Image size 240x240; Axial slice
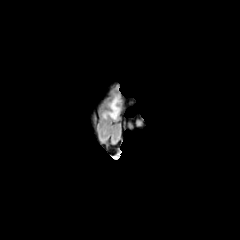
FLAIR MR image.
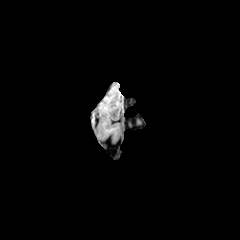
Same slice, T1-weighted MRI.
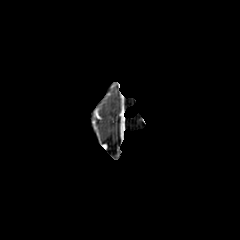
Same slice, post-contrast T1-weighted MRI.
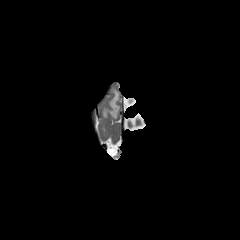
T2-weighted MR image.
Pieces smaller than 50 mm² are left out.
The largest peritumoral edema region lies within box=[102, 93, 119, 119].